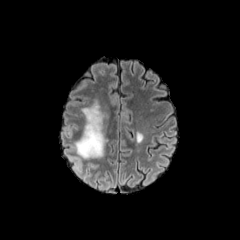
FLAIR MR.
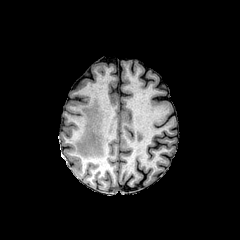
T1-weighted MR image.
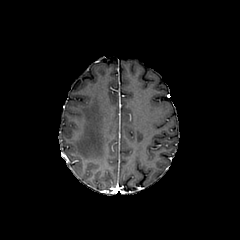
Same slice, post-contrast T1-weighted MR image.
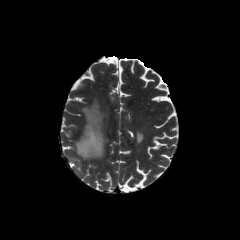
T2-weighted MRI of the same slice.
Head; 240x240
The peritumoral edema lies within (75,99,108,158).